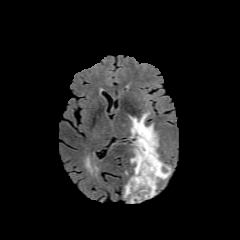
FLAIR MR image.
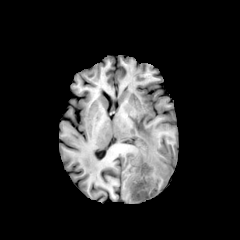
T1-weighted MR image.
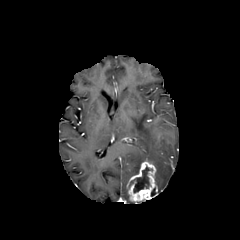
Post-contrast T1-weighted MR image of the same slice.
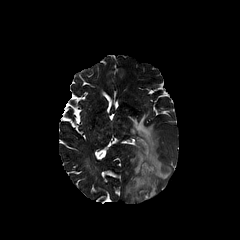
T2-weighted MRI.
Brain; 240x240 px
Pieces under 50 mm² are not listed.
The largest necrotic tumor core region is located at 129, 167, 152, 192. The enhancing tumor is bounded by 127, 160, 157, 202. The largest peritumoral edema region lies within 130, 113, 170, 184.